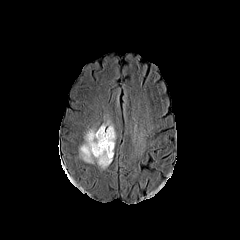
FLAIR MR.
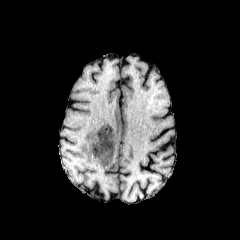
T1-weighted magnetic resonance.
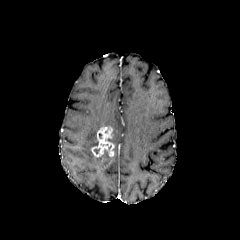
Post-contrast T1-weighted MR.
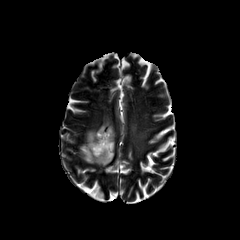
T2-weighted MR image of the same slice.
Image size 240x240, Axial slice
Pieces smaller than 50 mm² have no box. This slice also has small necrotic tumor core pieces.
peritumoral_edema:
  - rect(80, 128, 113, 168)
  - rect(101, 120, 115, 146)
enhancing_tumor:
  - rect(91, 126, 114, 161)